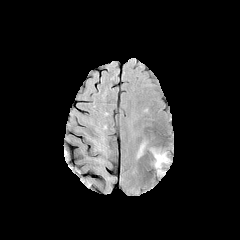
FLAIR magnetic resonance.
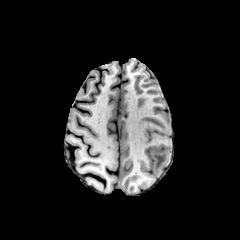
Same slice, T1-weighted MRI.
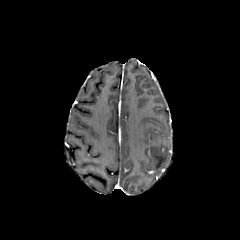
Post-contrast T1-weighted magnetic resonance of the same slice.
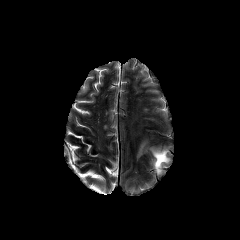
T2-weighted MR.
peritumoral_edema:
  - (137,142,145,157)
  - (151,148,169,173)